Head
FLAIR magnetic resonance.
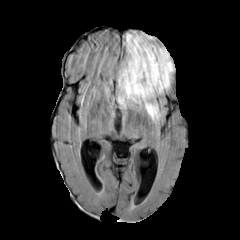
T1-weighted MR.
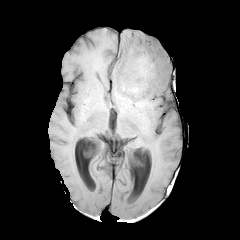
Post-contrast T1-weighted magnetic resonance.
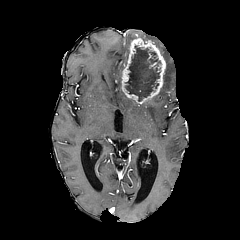
T2-weighted MR.
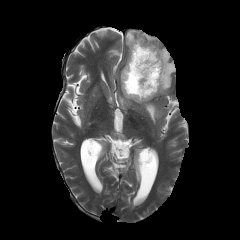
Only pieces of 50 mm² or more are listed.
peritumoral edema = 155,42,174,94; 138,100,160,122; 139,33,154,41; 117,31,138,108
necrotic tumor core = 125,46,160,101
enhancing tumor = 121,33,166,103